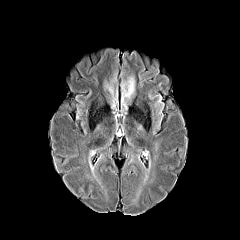
FLAIR MR image.
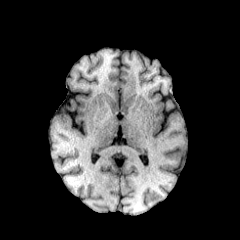
T1-weighted MRI.
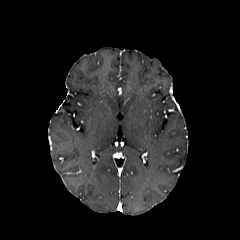
Post-contrast T1-weighted MRI.
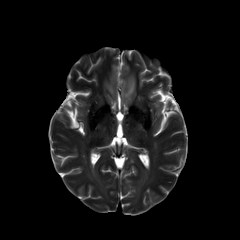
T2-weighted MR of the same slice.
240x240. Brain.
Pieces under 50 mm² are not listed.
{"peritumoral_edema": ["left=121, top=76, right=135, bottom=102", "left=105, top=82, right=113, bottom=94"]}